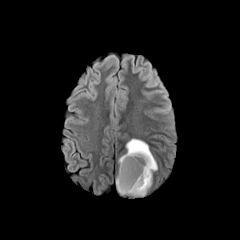
FLAIR MRI.
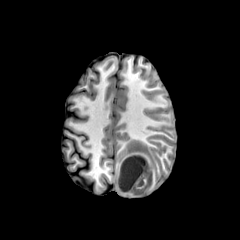
T1-weighted MR.
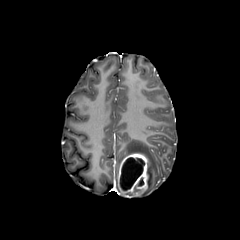
Post-contrast T1-weighted magnetic resonance.
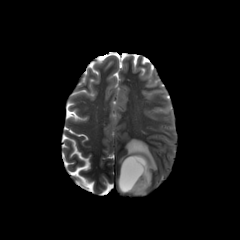
T2-weighted MR.
Axial plane
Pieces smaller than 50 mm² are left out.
Segmented structures:
* enhancing tumor: [x1=117, y1=153, x2=148, y2=195]
* peritumoral edema: [x1=119, y1=139, x2=157, y2=189]
* necrotic tumor core: [x1=119, y1=157, x2=144, y2=190]